Brain | 240x240 | Image width 240 mm
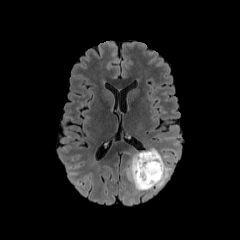
FLAIR MR.
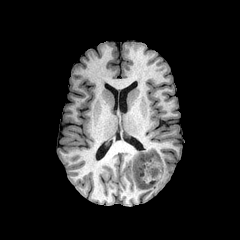
Same slice, T1-weighted MR.
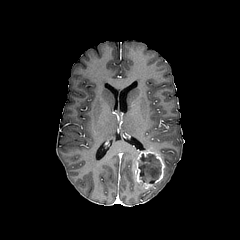
Post-contrast T1-weighted MRI.
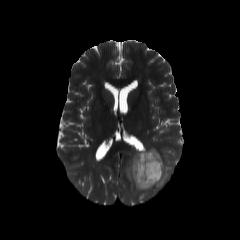
T2-weighted MR of the same slice.
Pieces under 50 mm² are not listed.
The largest peritumoral edema region appears at [125, 148, 179, 196]. The enhancing tumor appears at [132, 150, 165, 189]. The necrotic tumor core is located at [138, 153, 161, 183].